FLAIR magnetic resonance.
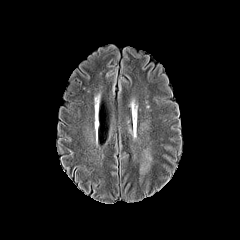
T1-weighted magnetic resonance.
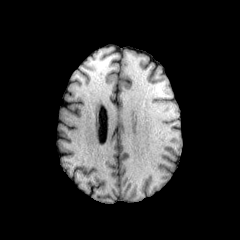
Post-contrast T1-weighted MR image.
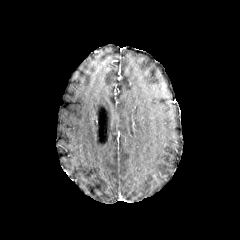
T2-weighted magnetic resonance.
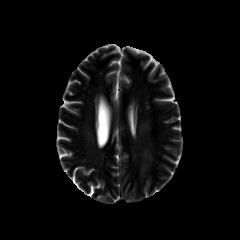
Annotated regions:
* peritumoral edema: 139:148:151:185